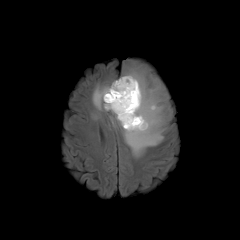
FLAIR MRI.
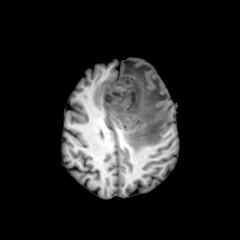
Same slice, T1-weighted MRI.
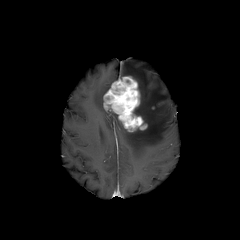
Post-contrast T1-weighted MR image.
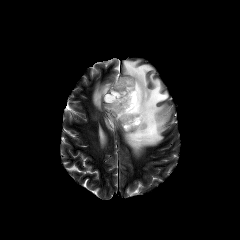
T2-weighted MRI.
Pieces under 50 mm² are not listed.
{
  "necrotic_tumor_core": [
    "box=[105, 91, 118, 102]"
  ],
  "peritumoral_edema": [
    "box=[92, 83, 111, 110]",
    "box=[106, 62, 171, 157]"
  ],
  "enhancing_tumor": [
    "box=[103, 76, 147, 131]"
  ]
}